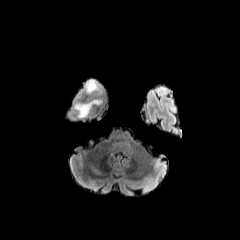
FLAIR MRI.
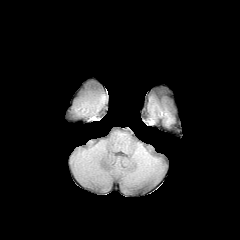
T1-weighted MRI of the same slice.
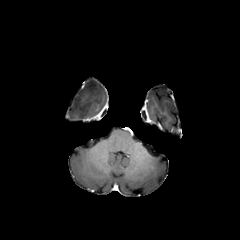
Post-contrast T1-weighted MR image.
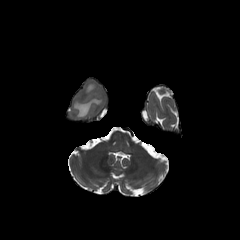
T2-weighted magnetic resonance.
Axial plane, Head
{"peritumoral_edema": ["85:80:101:92", "74:92:102:117"]}